Head | Axial plane
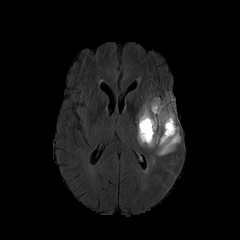
FLAIR MR.
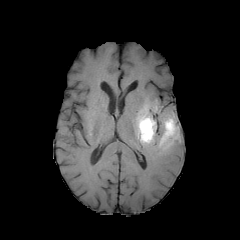
T1-weighted MR of the same slice.
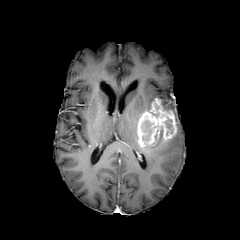
Same slice, post-contrast T1-weighted MR.
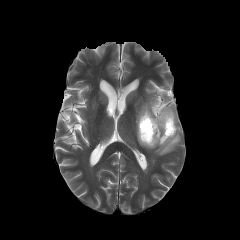
T2-weighted MR of the same slice.
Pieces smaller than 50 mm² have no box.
enhancing tumor: [x1=137, y1=98, x2=176, y2=146] | peritumoral edema: [x1=162, y1=93, x2=176, y2=122], [x1=136, y1=97, x2=159, y2=123], [x1=145, y1=124, x2=180, y2=155] | necrotic tumor core: [x1=165, y1=119, x2=172, y2=133], [x1=141, y1=120, x2=151, y2=140]